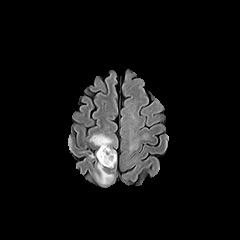
FLAIR MR.
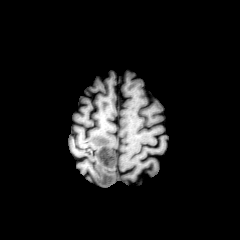
T1-weighted MR.
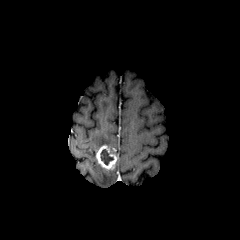
Post-contrast T1-weighted magnetic resonance.
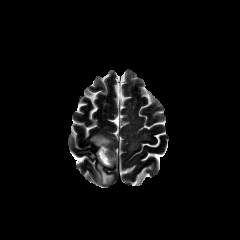
T2-weighted MR.
Axial view.
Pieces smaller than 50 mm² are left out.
peritumoral edema: x1=95 y1=163 x2=113 y2=184, x1=89 y1=134 x2=113 y2=147 | enhancing tumor: x1=96 y1=145 x2=116 y2=169 | necrotic tumor core: x1=101 y1=149 x2=113 y2=164